FLAIR MRI.
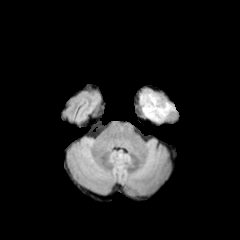
T1-weighted magnetic resonance.
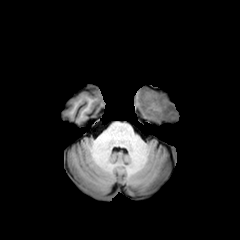
Post-contrast T1-weighted MRI.
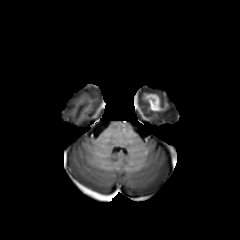
T2-weighted magnetic resonance.
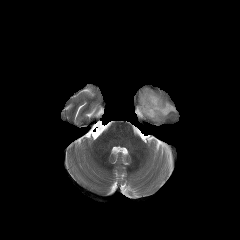
Axial slice
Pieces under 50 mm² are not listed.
enhancing tumor = region(143, 93, 168, 111)
peritumoral edema = region(140, 93, 175, 121)